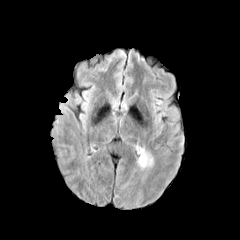
FLAIR magnetic resonance.
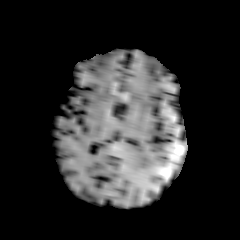
T1-weighted magnetic resonance.
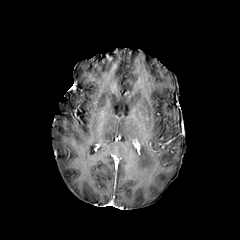
Post-contrast T1-weighted MRI.
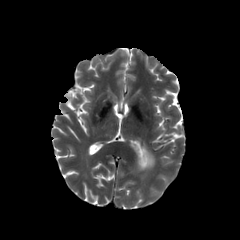
Same slice, T2-weighted MR.
Axial view
peritumoral edema — box=[137, 145, 153, 170]